Slice index 105. Axial view.
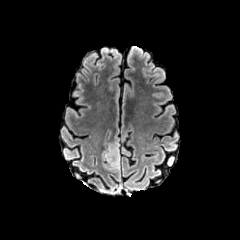
FLAIR MR.
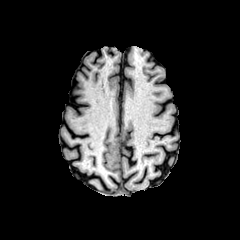
T1-weighted MR image.
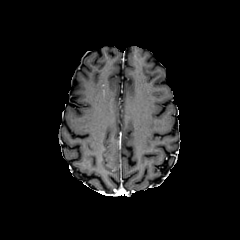
Post-contrast T1-weighted MR of the same slice.
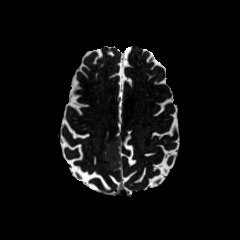
T2-weighted MRI.
The peritumoral edema lies within (102, 139, 120, 171).